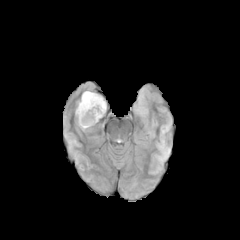
FLAIR MRI.
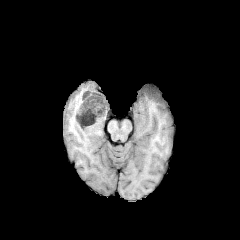
Same slice, T1-weighted magnetic resonance.
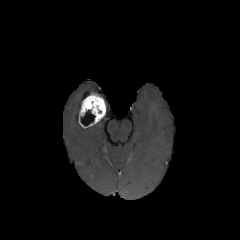
Same slice, post-contrast T1-weighted MR.
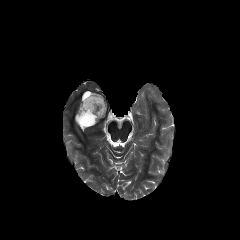
Same slice, T2-weighted MRI.
Axial plane. Brain.
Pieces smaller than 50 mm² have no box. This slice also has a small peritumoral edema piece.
enhancing tumor: 78 93 106 128 | necrotic tumor core: 81 110 95 125